240x240 | Brain | Slice 113 of 155
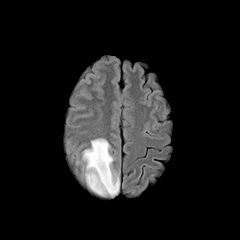
FLAIR MRI.
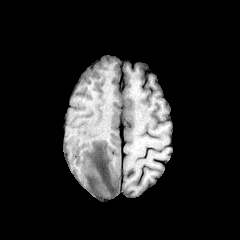
Same slice, T1-weighted MR image.
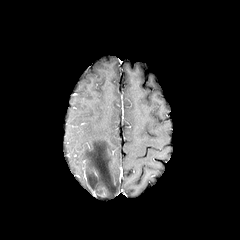
Post-contrast T1-weighted MRI of the same slice.
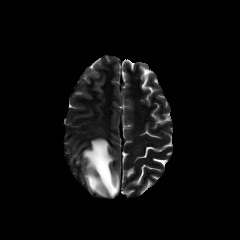
T2-weighted magnetic resonance.
{"enhancing_tumor": ["rect(98, 187, 106, 196)"], "peritumoral_edema": ["rect(82, 138, 119, 196)"]}